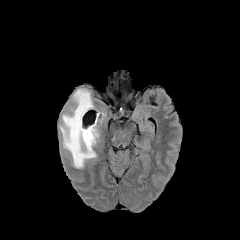
FLAIR MR image.
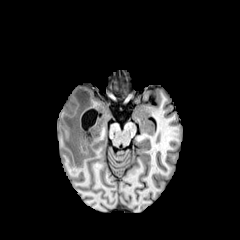
Same slice, T1-weighted MRI.
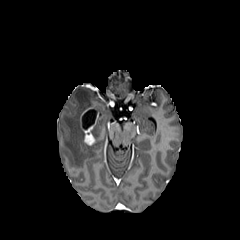
Same slice, post-contrast T1-weighted MR image.
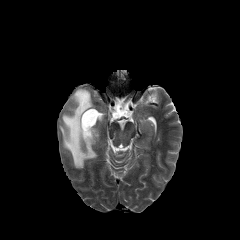
T2-weighted MRI.
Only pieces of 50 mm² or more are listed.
enhancing_tumor:
  - l=80, t=107, r=97, b=145
peritumoral_edema:
  - l=60, t=88, r=96, b=168
  - l=90, t=121, r=99, b=139